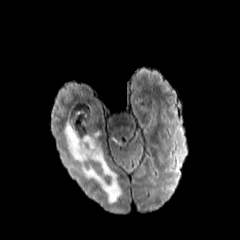
FLAIR magnetic resonance.
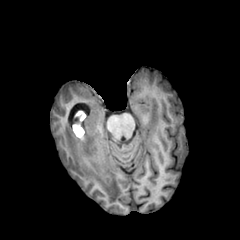
T1-weighted magnetic resonance.
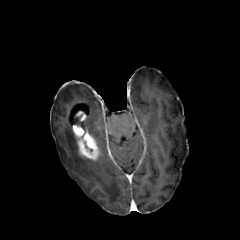
Post-contrast T1-weighted magnetic resonance.
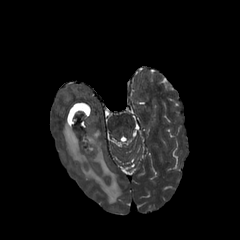
T2-weighted magnetic resonance.
Brain. Axial plane.
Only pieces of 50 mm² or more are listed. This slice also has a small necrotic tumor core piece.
peritumoral_edema:
  - bbox(89, 131, 100, 140)
  - bbox(63, 120, 121, 203)
enhancing_tumor:
  - bbox(72, 111, 100, 160)